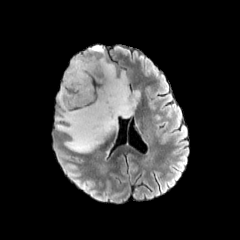
FLAIR MR.
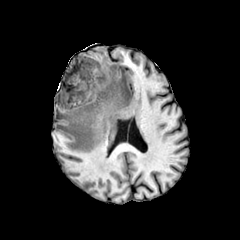
T1-weighted MRI.
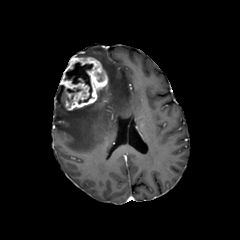
Post-contrast T1-weighted MRI.
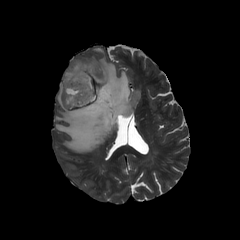
Same slice, T2-weighted MR image.
Head | Axial view
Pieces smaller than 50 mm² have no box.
necrotic tumor core: l=65, t=62, r=92, b=103
enhancing tumor: l=60, t=56, r=108, b=110
peritumoral edema: l=56, t=57, r=139, b=152; l=90, t=46, r=104, b=53